Slice 92 of 155 | Image width 240 mm, 1.00 mm slice spacing
FLAIR MR image.
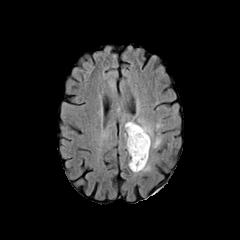
T1-weighted MRI.
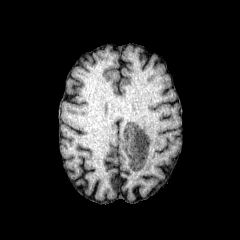
Post-contrast T1-weighted MRI.
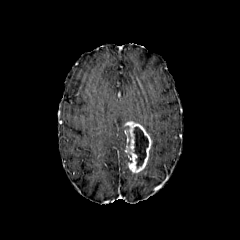
T2-weighted MRI.
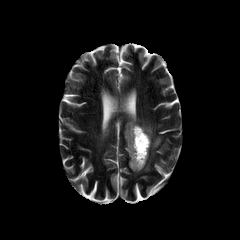
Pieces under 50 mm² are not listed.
The enhancing tumor lies within 125 121 151 173. The largest necrotic tumor core region is at 133 127 148 167. The largest peritumoral edema region appears at 135 119 161 148.